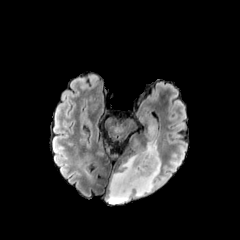
FLAIR MR.
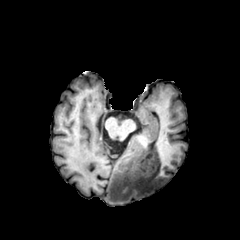
T1-weighted MRI.
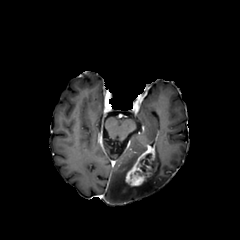
Same slice, post-contrast T1-weighted MR.
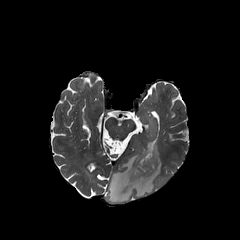
Same slice, T2-weighted MRI.
Brain | 240x240 px | Axial view
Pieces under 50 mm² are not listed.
peritumoral_edema:
  - {"x1": 106, "y1": 138, "x2": 161, "y2": 204}
enhancing_tumor:
  - {"x1": 125, "y1": 144, "x2": 156, "y2": 186}
necrotic_tumor_core:
  - {"x1": 136, "y1": 153, "x2": 154, "y2": 172}